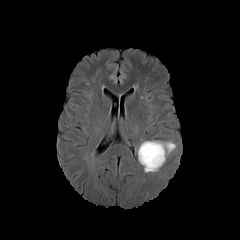
FLAIR MRI.
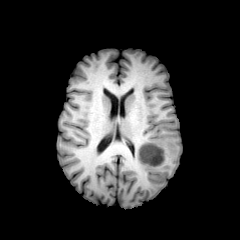
Same slice, T1-weighted MR.
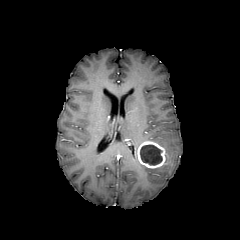
Same slice, post-contrast T1-weighted MRI.
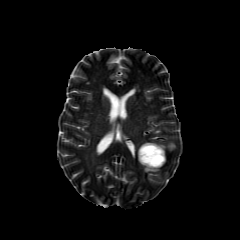
Same slice, T2-weighted magnetic resonance.
Brain.
necrotic tumor core = [x1=140, y1=145, x2=162, y2=165]
enhancing tumor = [x1=137, y1=141, x2=165, y2=168]
peritumoral edema = [x1=144, y1=166, x2=160, y2=172], [x1=152, y1=141, x2=175, y2=157]